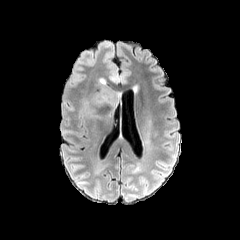
FLAIR MR.
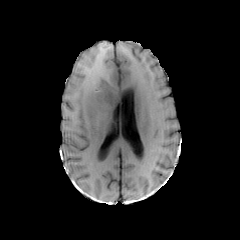
T1-weighted MR image of the same slice.
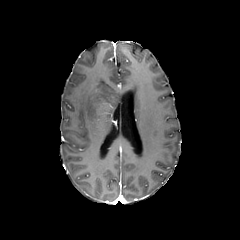
Same slice, post-contrast T1-weighted MRI.
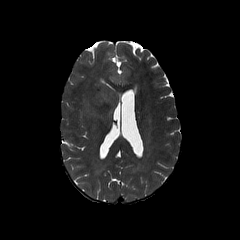
T2-weighted magnetic resonance of the same slice.
Axial plane, Brain
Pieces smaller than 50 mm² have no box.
peritumoral edema: region(89, 78, 121, 106); region(110, 75, 119, 82)